Image width 240 mm | Head
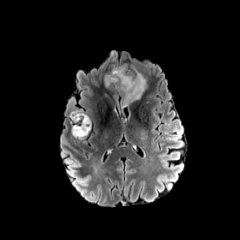
FLAIR MRI.
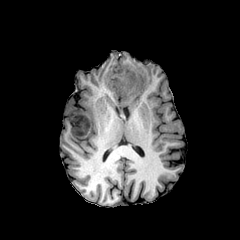
T1-weighted MR.
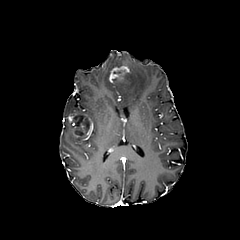
Post-contrast T1-weighted MR of the same slice.
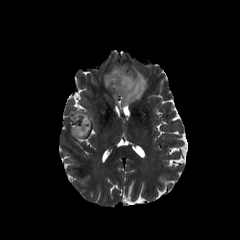
T2-weighted MR image.
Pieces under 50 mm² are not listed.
enhancing tumor — 68 112 92 137, 109 65 128 83
peritumoral edema — 104 74 112 86, 113 69 146 106
necrotic tumor core — 73 115 89 135